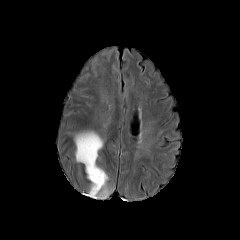
FLAIR magnetic resonance.
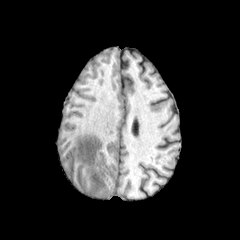
Same slice, T1-weighted magnetic resonance.
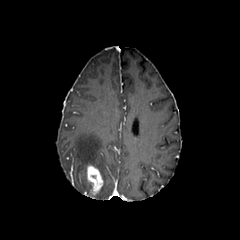
Post-contrast T1-weighted magnetic resonance.
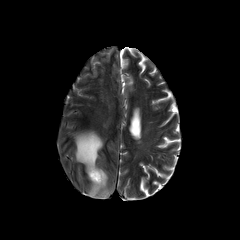
Same slice, T2-weighted MR image.
240x240 px; Brain
Annotated regions:
* enhancing tumor: 87,165,103,195
* peritumoral edema: 74,131,111,198